Image width 240 mm, 1.00 mm slice spacing, Slice index 69
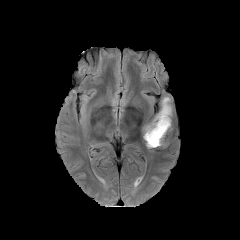
FLAIR MR.
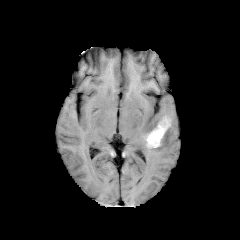
T1-weighted MR image of the same slice.
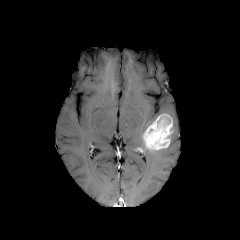
Post-contrast T1-weighted MR image of the same slice.
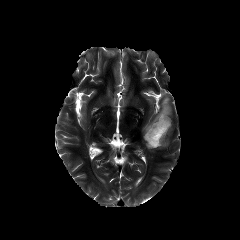
T2-weighted magnetic resonance.
Segmented structures:
* enhancing tumor: bbox(143, 114, 172, 149)
* peritumoral edema: bbox(143, 97, 172, 131)